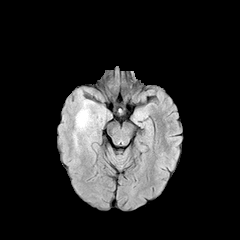
FLAIR MR image.
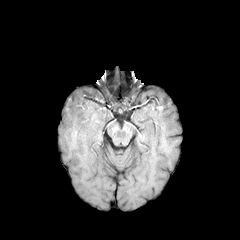
T1-weighted MR image.
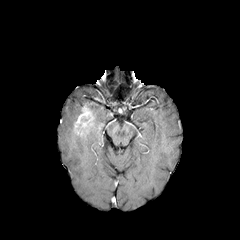
Post-contrast T1-weighted MR image.
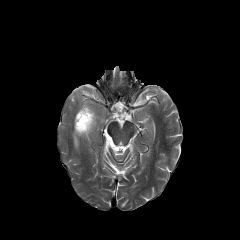
T2-weighted MR.
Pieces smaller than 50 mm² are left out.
The enhancing tumor lies within box(74, 106, 94, 135). The 3 largest peritumoral edema regions are located at box(75, 101, 92, 121); box(81, 114, 97, 142); box(74, 129, 79, 146).